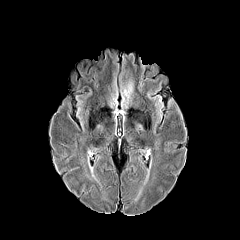
FLAIR MRI.
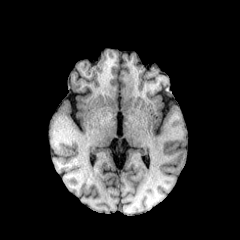
T1-weighted magnetic resonance of the same slice.
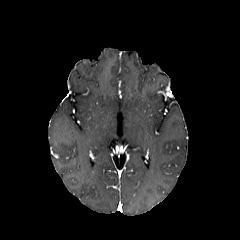
Same slice, post-contrast T1-weighted MR image.
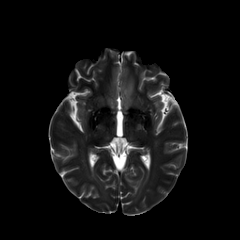
Same slice, T2-weighted magnetic resonance.
240x240. Head.
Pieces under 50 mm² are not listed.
peritumoral edema at (x1=122, y1=80, x2=133, y2=106)